Axial plane | Head
FLAIR magnetic resonance.
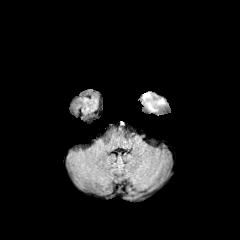
T1-weighted MRI.
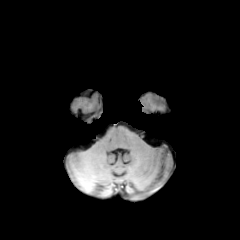
Post-contrast T1-weighted MRI.
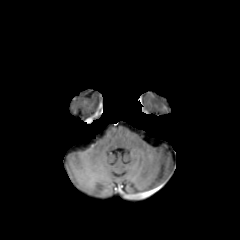
T2-weighted MR.
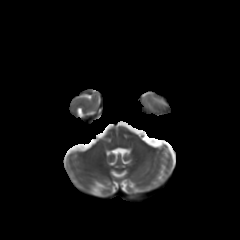
The peritumoral edema is bounded by (142,95,166,113).